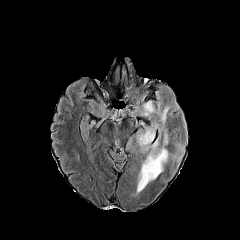
FLAIR MR image.
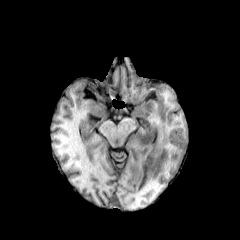
T1-weighted magnetic resonance.
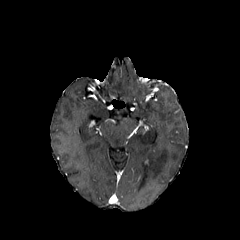
Post-contrast T1-weighted MR.
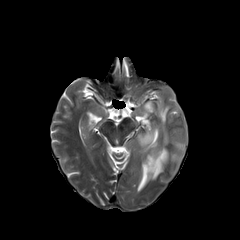
T2-weighted MRI.
Axial view
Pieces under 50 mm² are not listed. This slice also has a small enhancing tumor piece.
peritumoral edema at 137:129:169:192, 135:120:157:151, 142:99:168:123